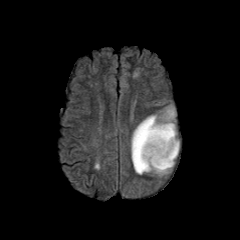
FLAIR MR image.
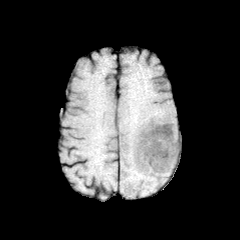
T1-weighted MRI.
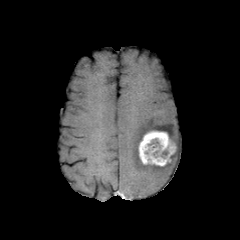
Post-contrast T1-weighted MR of the same slice.
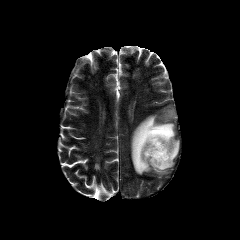
T2-weighted MRI.
Axial plane. Head.
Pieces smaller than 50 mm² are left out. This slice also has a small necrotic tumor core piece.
The enhancing tumor is bounded by rect(138, 130, 176, 166). The peritumoral edema lies within rect(131, 107, 179, 175).